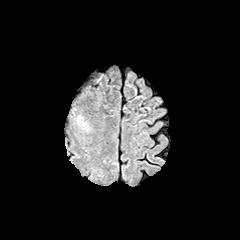
FLAIR MR image.
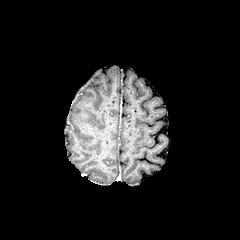
T1-weighted MR.
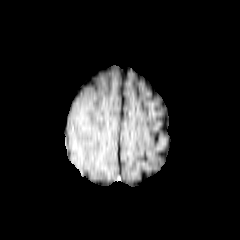
Post-contrast T1-weighted MR of the same slice.
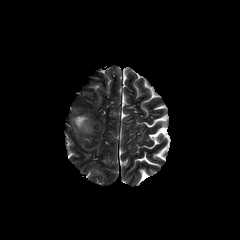
T2-weighted magnetic resonance.
Head.
peritumoral edema = [76,116,88,130]